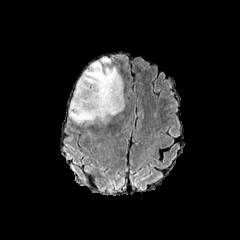
FLAIR MR image.
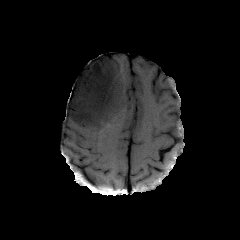
T1-weighted MRI.
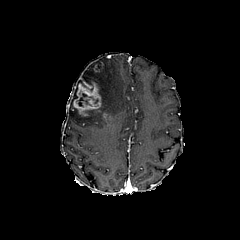
Same slice, post-contrast T1-weighted MRI.
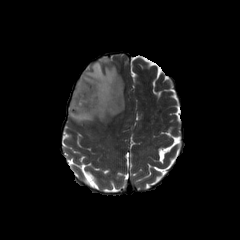
T2-weighted MR image of the same slice.
Axial plane | Brain
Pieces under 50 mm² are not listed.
Segmented structures:
* peritumoral edema: [68, 57, 124, 126]
* enhancing tumor: [102, 112, 110, 121], [72, 78, 101, 116]
* necrotic tumor core: [78, 93, 87, 106]